FLAIR magnetic resonance.
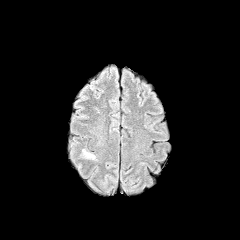
T1-weighted MR image.
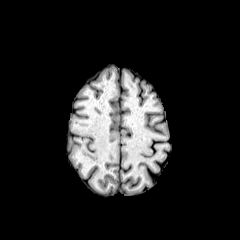
Post-contrast T1-weighted MR.
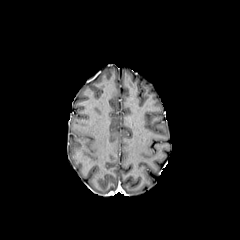
T2-weighted MR image.
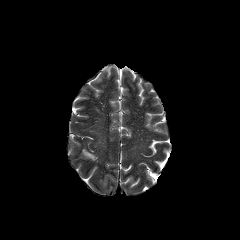
Axial view
peritumoral edema: region(83, 150, 94, 158)